240x240. Slice index 33. Axial plane.
FLAIR magnetic resonance.
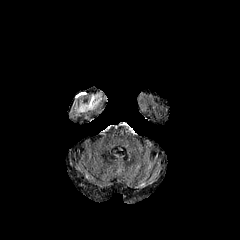
T1-weighted MR image.
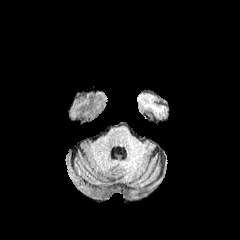
Post-contrast T1-weighted MRI.
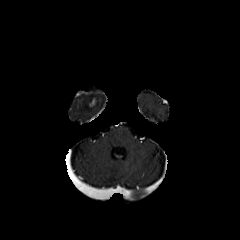
T2-weighted MRI.
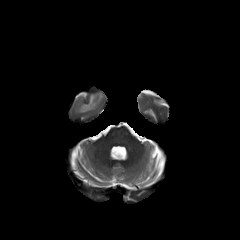
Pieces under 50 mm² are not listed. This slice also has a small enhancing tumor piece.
• peritumoral edema: left=75, top=93, right=101, bottom=114